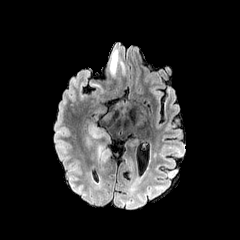
FLAIR magnetic resonance.
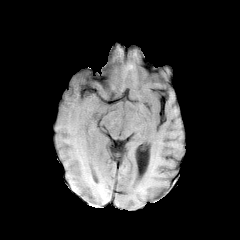
T1-weighted MRI of the same slice.
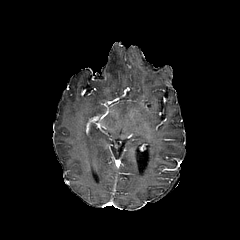
Post-contrast T1-weighted magnetic resonance.
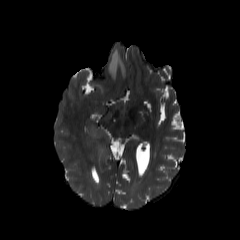
Same slice, T2-weighted MR image.
Axial slice
The peritumoral edema lies within 108, 49, 124, 78.